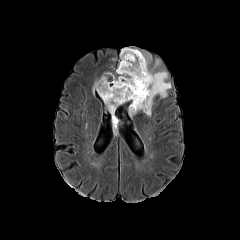
FLAIR MR image.
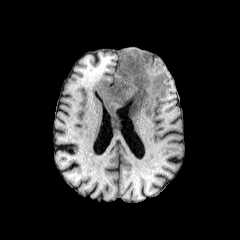
T1-weighted MRI.
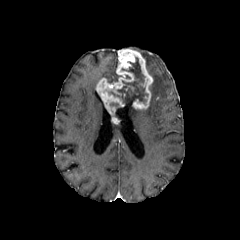
Same slice, post-contrast T1-weighted MR image.
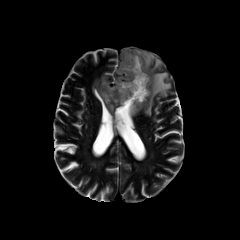
T2-weighted magnetic resonance.
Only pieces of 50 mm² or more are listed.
necrotic tumor core: bbox(111, 57, 147, 105)
peritumoral edema: bbox(128, 48, 171, 116)
enhancing tumor: bbox(95, 48, 153, 124)